Brain | Axial view
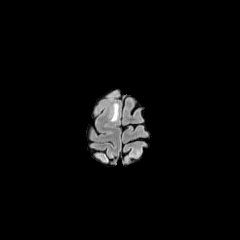
FLAIR MR.
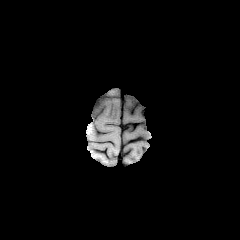
Same slice, T1-weighted MR image.
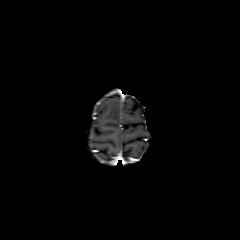
Post-contrast T1-weighted MRI.
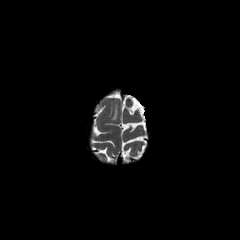
T2-weighted magnetic resonance.
peritumoral edema: bounding box x1=111 y1=103 x2=118 y2=121